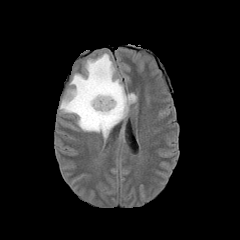
FLAIR MRI.
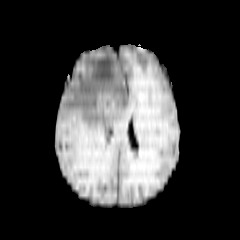
T1-weighted MR.
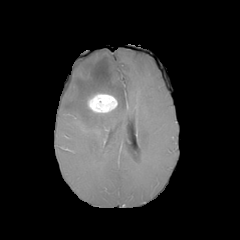
Post-contrast T1-weighted magnetic resonance of the same slice.
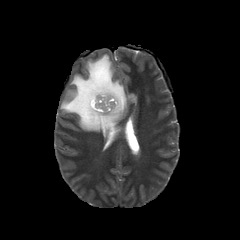
T2-weighted MRI.
Image size 240x240. Brain.
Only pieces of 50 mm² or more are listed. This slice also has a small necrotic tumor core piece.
peritumoral edema: bounding box l=60, t=53, r=136, b=144
enhancing tumor: bounding box l=87, t=93, r=117, b=113